Slice 86 of 155, Axial view
FLAIR MR.
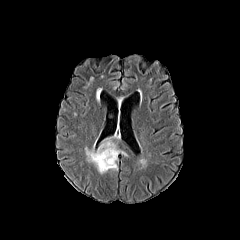
T1-weighted MR image.
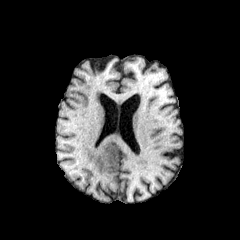
Post-contrast T1-weighted magnetic resonance.
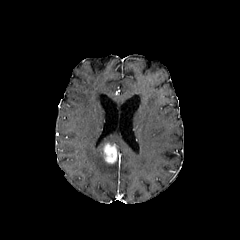
T2-weighted magnetic resonance.
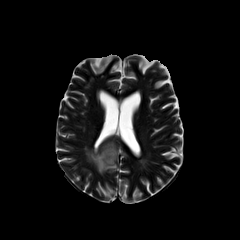
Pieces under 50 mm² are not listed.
enhancing tumor: 103, 143, 117, 163 | peritumoral edema: 85, 138, 117, 173